Brain. 240x240.
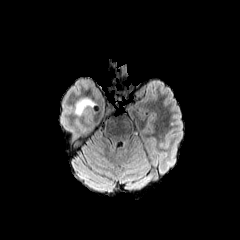
FLAIR MR.
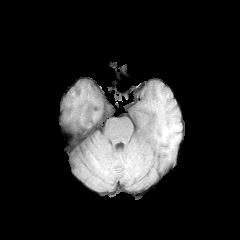
T1-weighted MR of the same slice.
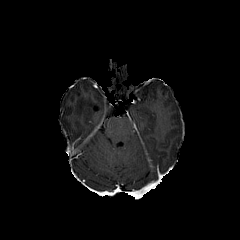
Same slice, post-contrast T1-weighted MR image.
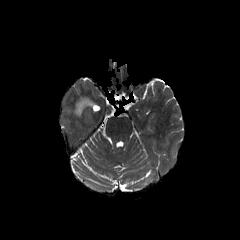
Same slice, T2-weighted MR image.
peritumoral_edema:
  - box(75, 98, 96, 115)